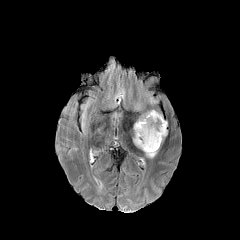
FLAIR MR.
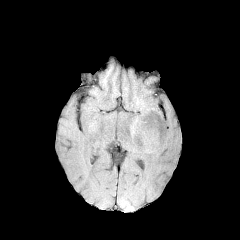
T1-weighted magnetic resonance.
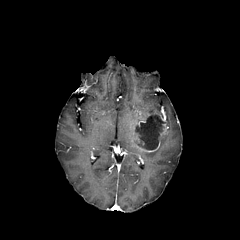
Post-contrast T1-weighted MRI.
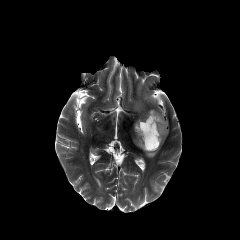
Same slice, T2-weighted magnetic resonance.
Brain.
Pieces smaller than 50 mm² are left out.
peritumoral edema: 145 150 157 157 | necrotic tumor core: 137 114 164 149 | enhancing tumor: 135 112 167 152